Image size 240x240. Image width 240 mm. Brain. Slice 37/155.
FLAIR magnetic resonance.
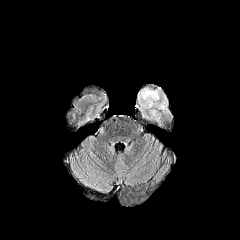
T1-weighted magnetic resonance.
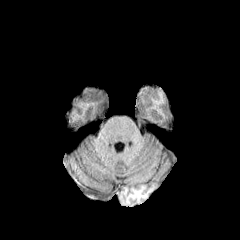
Post-contrast T1-weighted magnetic resonance.
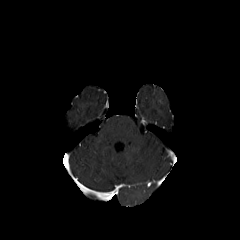
T2-weighted MR image.
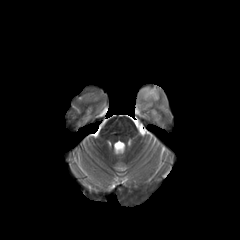
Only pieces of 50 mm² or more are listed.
peritumoral_edema:
  - box(138, 88, 167, 117)